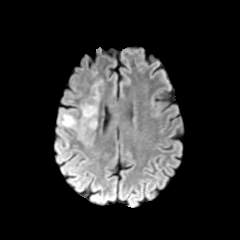
FLAIR MR.
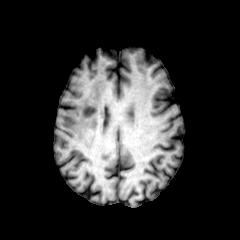
T1-weighted MRI of the same slice.
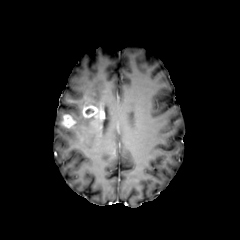
Same slice, post-contrast T1-weighted MR.
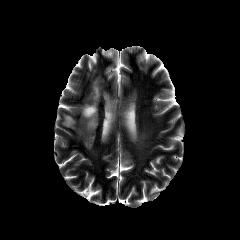
T2-weighted magnetic resonance of the same slice.
Image size 240x240
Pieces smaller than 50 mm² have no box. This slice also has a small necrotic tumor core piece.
Findings:
- peritumoral edema: box=[82, 114, 97, 129]
- enhancing tumor: box=[62, 114, 75, 127]; box=[81, 105, 98, 117]